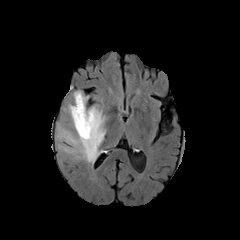
FLAIR MR.
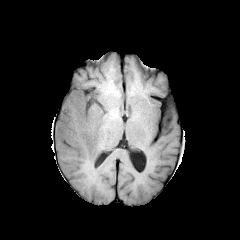
T1-weighted MRI.
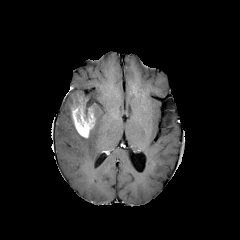
Post-contrast T1-weighted MRI of the same slice.
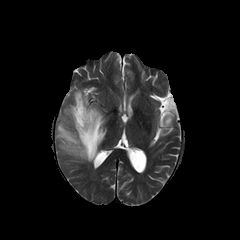
T2-weighted MRI.
Axial plane
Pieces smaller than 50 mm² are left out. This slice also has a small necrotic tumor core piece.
The peritumoral edema is at 56:90:106:163. The enhancing tumor lies within 71:92:95:138.